Brain | Axial plane | 240x240 px | Image width 240 mm, 1.00 mm slice spacing
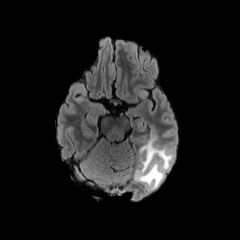
FLAIR MR image.
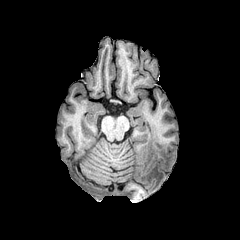
T1-weighted MRI.
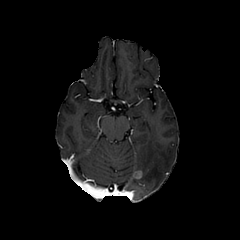
Same slice, post-contrast T1-weighted MR.
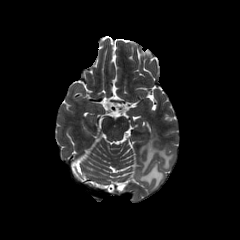
Same slice, T2-weighted MR image.
enhancing tumor — l=134, t=171, r=141, b=178
peritumoral edema — l=136, t=136, r=173, b=191